FLAIR magnetic resonance.
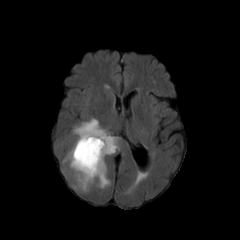
T1-weighted MR image.
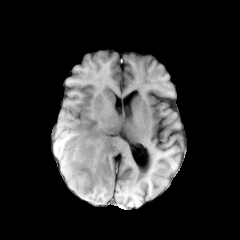
Post-contrast T1-weighted magnetic resonance.
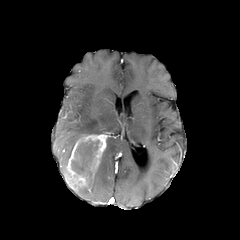
T2-weighted magnetic resonance.
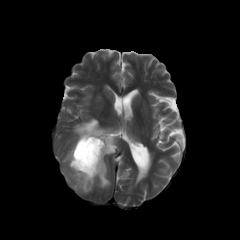
240x240 px.
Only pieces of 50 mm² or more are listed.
The 2 largest peritumoral edema regions are bounded by region(73, 118, 118, 188); region(63, 143, 74, 164). The largest necrotic tumor core region is at region(71, 140, 99, 173). The enhancing tumor lies within region(65, 134, 109, 190).